FLAIR MR image.
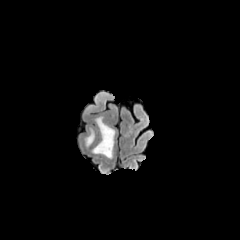
T1-weighted MRI.
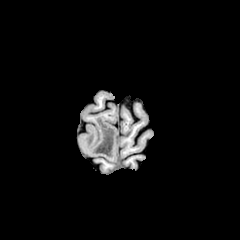
Post-contrast T1-weighted MR.
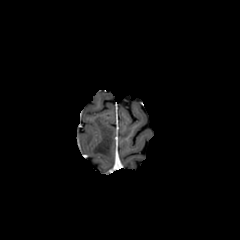
T2-weighted MR image.
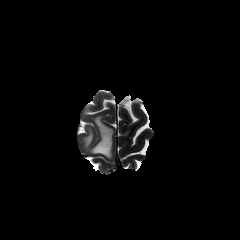
240x240; Brain
peritumoral edema: x1=85 y1=129 x2=94 y2=146, x1=92 y1=116 x2=114 y2=158